Brain | Axial plane
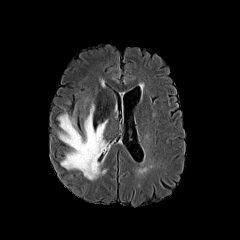
FLAIR MRI.
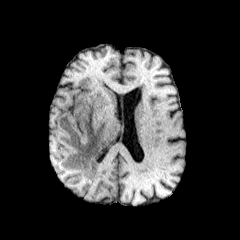
T1-weighted MR image.
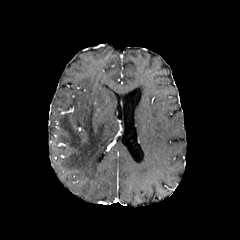
Post-contrast T1-weighted MRI.
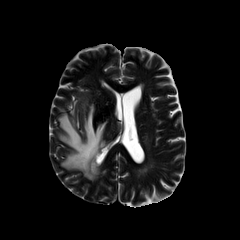
T2-weighted MR of the same slice.
peritumoral edema — rect(58, 104, 107, 179)